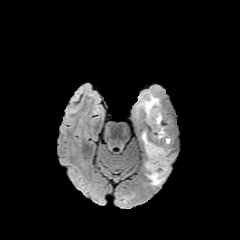
FLAIR MRI.
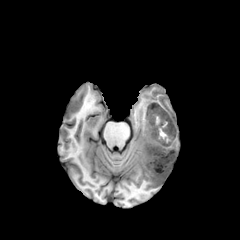
Same slice, T1-weighted MR.
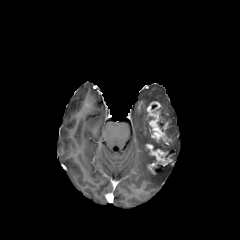
Post-contrast T1-weighted magnetic resonance.
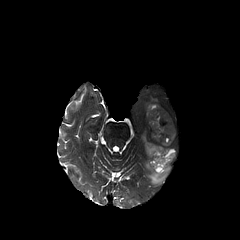
T2-weighted MR image of the same slice.
240x240
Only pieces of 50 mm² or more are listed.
The 3 largest peritumoral edema regions are bounded by <bbox>142, 132, 148, 144</bbox>, <bbox>148, 164, 170, 185</bbox>, <bbox>143, 95, 158, 113</bbox>. The 2 largest necrotic tumor core regions are located at <bbox>150, 107, 172, 159</bbox>, <bbox>147, 149, 156, 163</bbox>. The largest enhancing tumor region appears at <bbox>145, 102, 172, 174</bbox>.